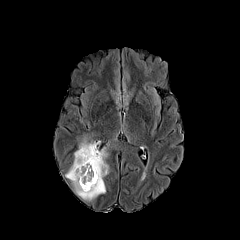
FLAIR MR.
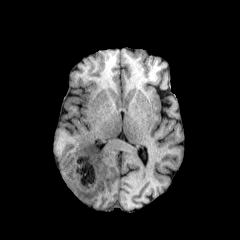
T1-weighted MRI of the same slice.
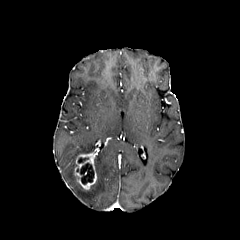
Post-contrast T1-weighted magnetic resonance.
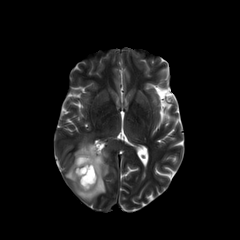
Same slice, T2-weighted magnetic resonance.
Head
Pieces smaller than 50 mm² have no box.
Segmented structures:
* peritumoral edema: [65, 136, 108, 201]
* enhancing tumor: [74, 150, 97, 189]
* necrotic tumor core: [76, 163, 94, 184]